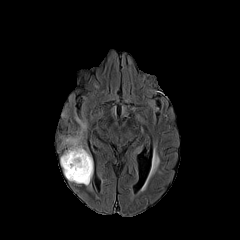
FLAIR magnetic resonance.
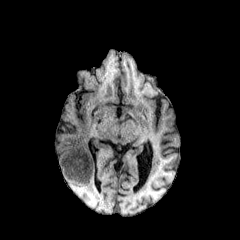
T1-weighted MRI.
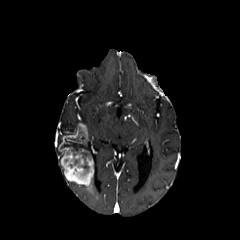
Post-contrast T1-weighted magnetic resonance of the same slice.
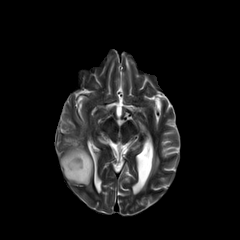
T2-weighted magnetic resonance.
Head.
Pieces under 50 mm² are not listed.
The largest necrotic tumor core region lies within left=60, top=138, right=88, bottom=169. The largest peritumoral edema region is at left=75, top=114, right=87, bottom=128. The largest enhancing tumor region is bounded by left=58, top=123, right=94, bottom=194.